FLAIR magnetic resonance.
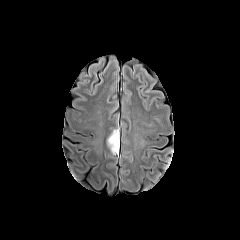
T1-weighted MR.
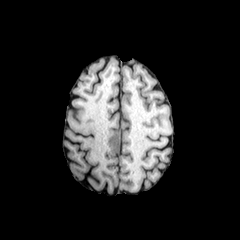
Post-contrast T1-weighted magnetic resonance.
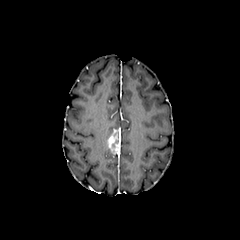
T2-weighted magnetic resonance.
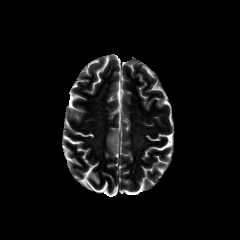
Axial view. 240x240 px.
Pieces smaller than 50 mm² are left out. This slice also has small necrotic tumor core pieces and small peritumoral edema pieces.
enhancing tumor = 107, 130, 119, 154